240x240. Axial view. Slice 82 of 155.
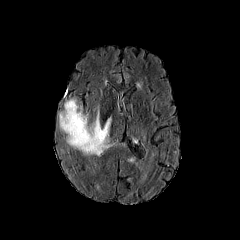
FLAIR MR.
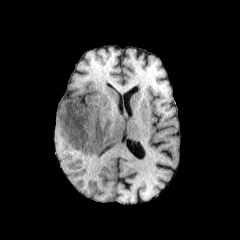
Same slice, T1-weighted MR.
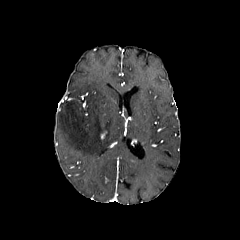
Post-contrast T1-weighted MR of the same slice.
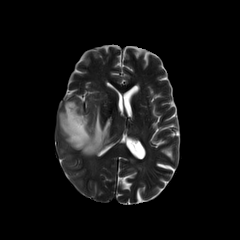
T2-weighted MR image.
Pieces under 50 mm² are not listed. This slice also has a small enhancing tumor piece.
peritumoral edema = 59:100:111:155